FLAIR MR image.
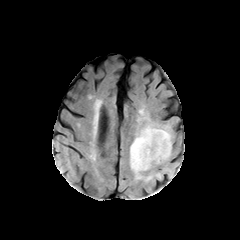
T1-weighted MRI.
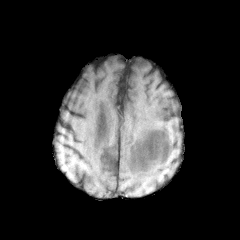
Post-contrast T1-weighted MR image.
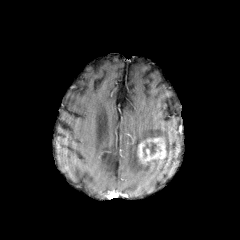
T2-weighted MR.
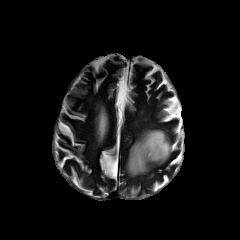
Brain
{
  "enhancing_tumor": [
    "l=137, t=136, r=166, b=164"
  ],
  "peritumoral_edema": [
    "l=129, t=125, r=172, b=178"
  ],
  "necrotic_tumor_core": [
    "l=143, t=142, r=156, b=156"
  ]
}